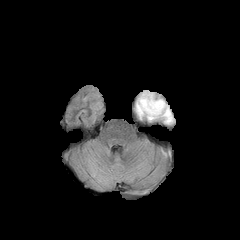
FLAIR magnetic resonance.
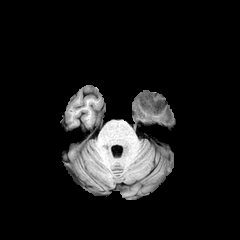
T1-weighted MR of the same slice.
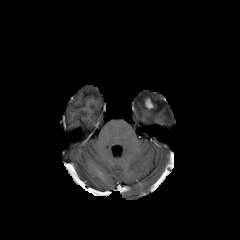
Post-contrast T1-weighted MR image.
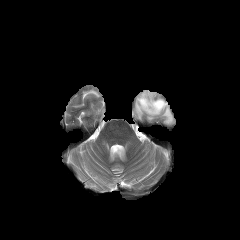
T2-weighted MRI.
Axial view. Image size 240x240.
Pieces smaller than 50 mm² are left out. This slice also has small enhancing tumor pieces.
The peritumoral edema is at 135:91:173:124.